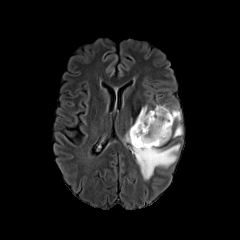
FLAIR MRI.
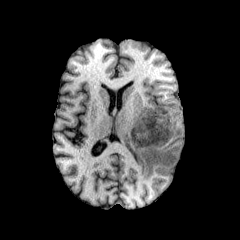
T1-weighted magnetic resonance.
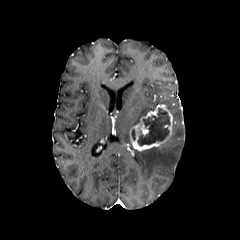
Same slice, post-contrast T1-weighted MR.
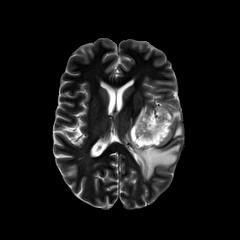
Same slice, T2-weighted MR image.
Head
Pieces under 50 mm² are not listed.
The 5 largest peritumoral edema regions appear at [132,144,180,180], [124,128,130,143], [170,108,181,124], [172,124,182,137], [134,105,147,124]. The enhancing tumor is at [130,105,172,151]. The largest necrotic tumor core region lies within [137,108,170,145].